Slice 80 of 155; Head
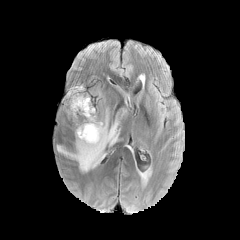
FLAIR magnetic resonance.
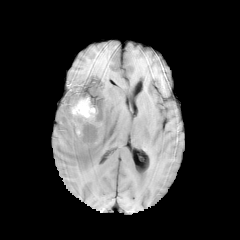
T1-weighted MR image of the same slice.
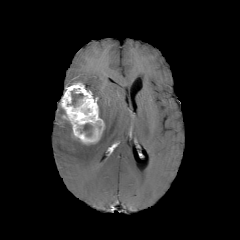
Same slice, post-contrast T1-weighted MRI.
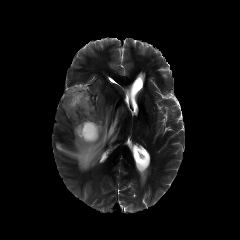
T2-weighted MR image.
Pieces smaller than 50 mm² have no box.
The peritumoral edema is at x1=56 y1=108 x2=119 y2=171. The enhancing tumor lies within x1=61 y1=82 x2=104 y2=144. The 2 largest necrotic tumor core regions appear at x1=83 y1=123 x2=92 y2=136, x1=72 y1=91 x2=83 y2=106.